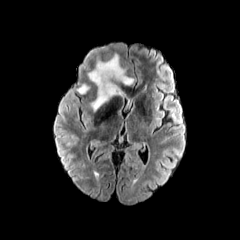
FLAIR MRI.
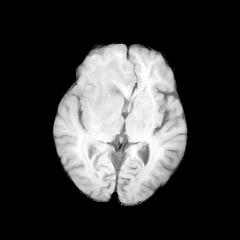
T1-weighted MR.
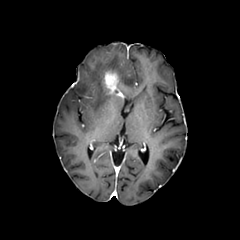
Post-contrast T1-weighted MRI.
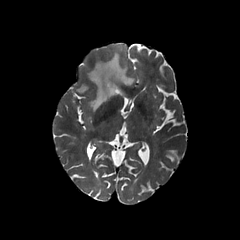
T2-weighted MRI.
Axial plane
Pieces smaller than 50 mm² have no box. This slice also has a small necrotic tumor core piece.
enhancing tumor — 103:69:123:97
peritumoral edema — 88:53:133:110, 77:83:89:93